240x240 px
FLAIR magnetic resonance.
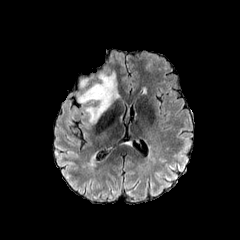
T1-weighted MRI.
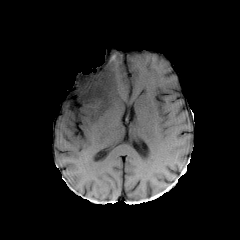
Post-contrast T1-weighted MR image.
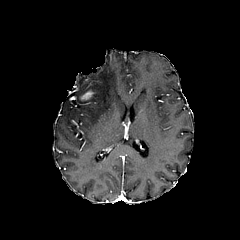
T2-weighted MRI.
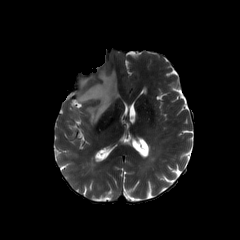
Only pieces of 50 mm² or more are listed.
Segmented structures:
- enhancing tumor: (80, 89, 95, 100)
- peritumoral edema: (77, 69, 119, 123)